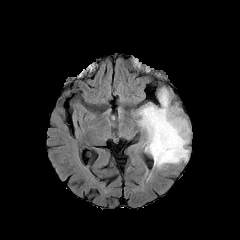
FLAIR MR image.
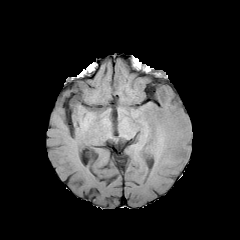
T1-weighted MRI.
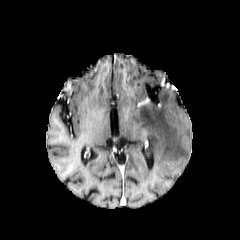
Post-contrast T1-weighted MRI.
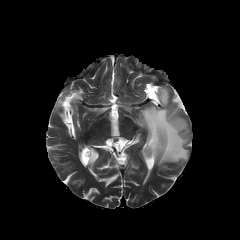
Same slice, T2-weighted MRI.
240x240 | Brain | Axial view
peritumoral edema at left=137, top=88, right=190, bottom=167